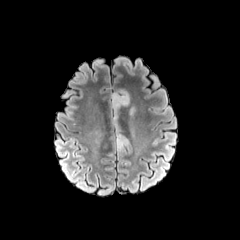
FLAIR MR.
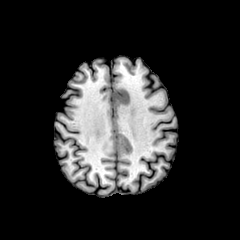
T1-weighted MRI.
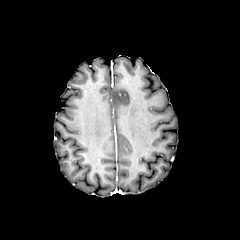
Post-contrast T1-weighted MR image of the same slice.
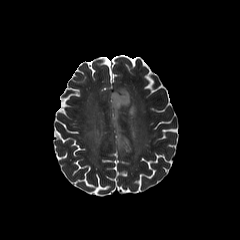
Same slice, T2-weighted MR.
Head. Axial plane.
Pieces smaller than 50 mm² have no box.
Findings:
* peritumoral edema: 111 89 130 121